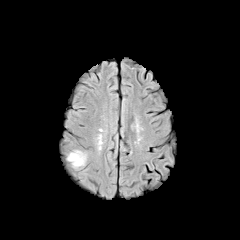
FLAIR MR image.
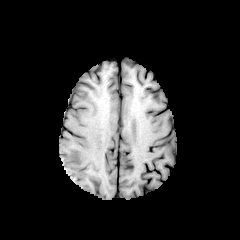
T1-weighted magnetic resonance.
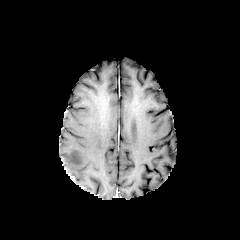
Same slice, post-contrast T1-weighted magnetic resonance.
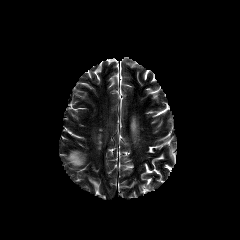
T2-weighted magnetic resonance.
Axial plane
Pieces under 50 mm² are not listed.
The largest peritumoral edema region lies within 67, 151, 85, 166.